FLAIR MR.
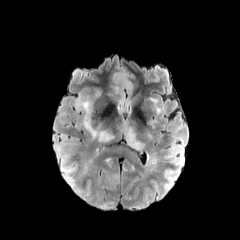
T1-weighted MR image.
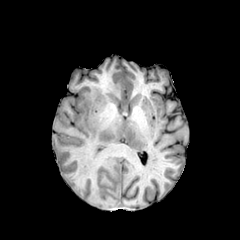
Post-contrast T1-weighted magnetic resonance.
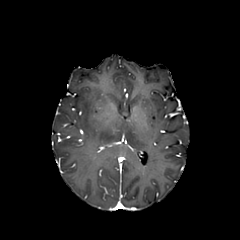
T2-weighted MR image.
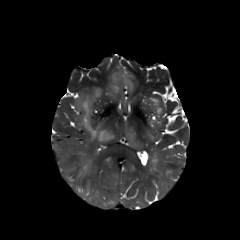
Brain
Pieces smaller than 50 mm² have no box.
peritumoral edema at [76,97,114,142], [121,121,143,150]